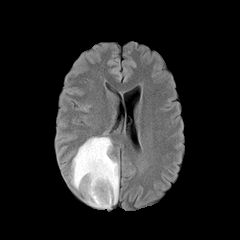
FLAIR MR.
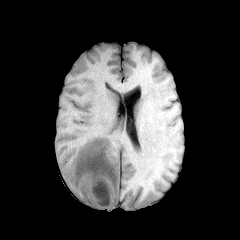
Same slice, T1-weighted magnetic resonance.
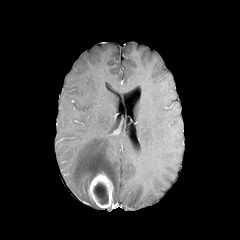
Post-contrast T1-weighted MR of the same slice.
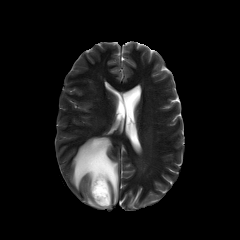
T2-weighted magnetic resonance.
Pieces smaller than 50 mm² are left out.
The enhancing tumor is located at box(88, 173, 113, 208). The largest peritumoral edema region lies within box(70, 136, 119, 208). The necrotic tumor core is at box(93, 182, 108, 204).